FLAIR MR image.
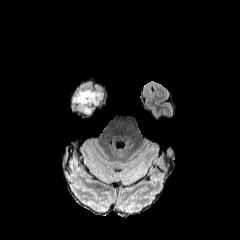
T1-weighted MR image.
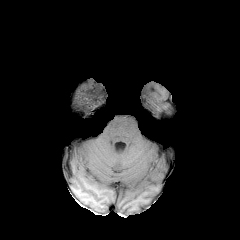
Post-contrast T1-weighted magnetic resonance.
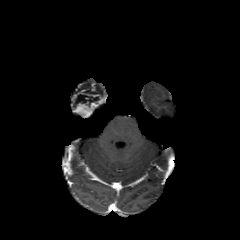
T2-weighted magnetic resonance.
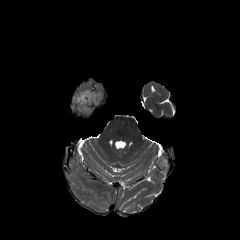
Axial slice
The enhancing tumor lies within bbox=[74, 91, 102, 116]. 2 peritumoral edema regions appear at bbox=[83, 90, 102, 100]; bbox=[69, 95, 77, 113]. The necrotic tumor core is located at bbox=[77, 94, 91, 103].